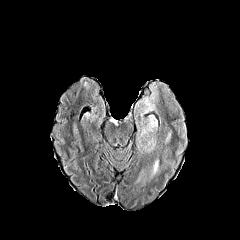
FLAIR MR image.
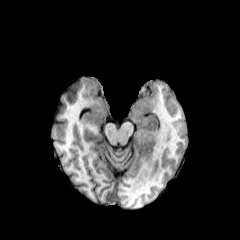
T1-weighted magnetic resonance.
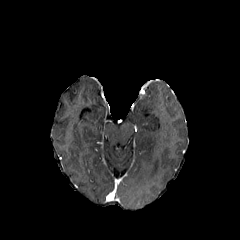
Post-contrast T1-weighted magnetic resonance.
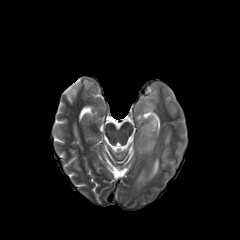
Same slice, T2-weighted MRI.
240x240 px, Axial view, Head
peritumoral edema — 151 160 158 174, 145 115 158 130, 165 128 170 142